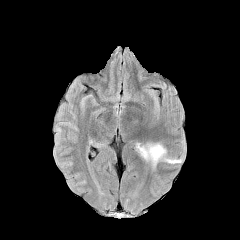
FLAIR MR.
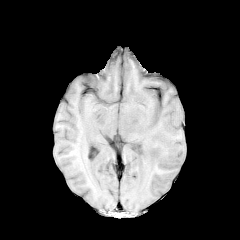
Same slice, T1-weighted MR image.
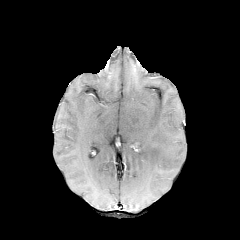
Post-contrast T1-weighted MR.
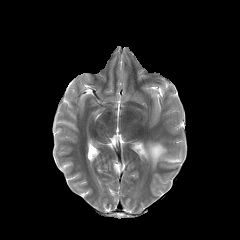
Same slice, T2-weighted magnetic resonance.
peritumoral_edema:
  - 136:143:182:168